FLAIR MR image.
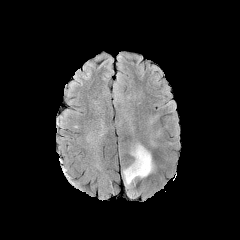
T1-weighted MR image.
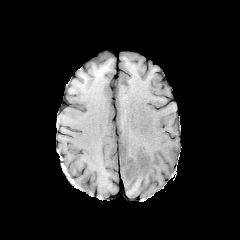
Post-contrast T1-weighted MR.
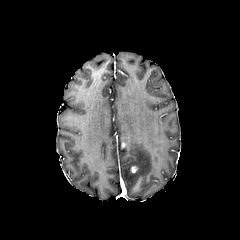
T2-weighted MR.
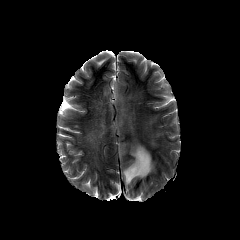
Brain | Axial slice
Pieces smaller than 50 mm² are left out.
peritumoral edema at bbox(122, 143, 154, 196)
enhancing tumor at bbox(130, 166, 137, 173)